Brain.
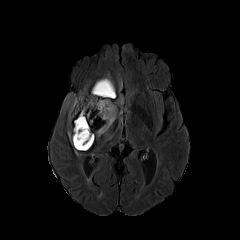
FLAIR MRI.
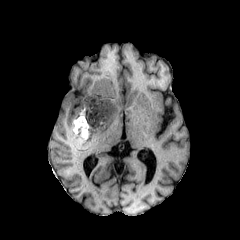
Same slice, T1-weighted MR image.
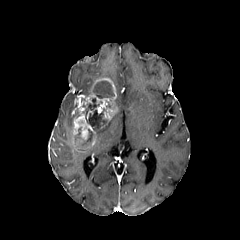
Same slice, post-contrast T1-weighted MR image.
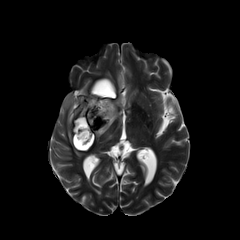
T2-weighted magnetic resonance.
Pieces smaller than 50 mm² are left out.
peritumoral edema: bounding box 96 95 123 137, 68 130 81 156, 63 93 76 122
necrotic tumor core: bounding box 82 98 106 127, 93 81 114 98, 74 127 92 148
enhancing tumor: bounding box 73 77 117 150